FLAIR MRI.
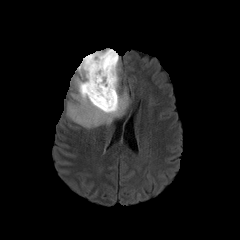
T1-weighted MR.
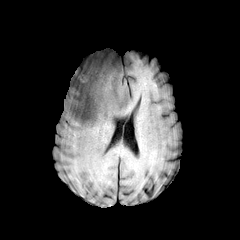
Post-contrast T1-weighted MRI.
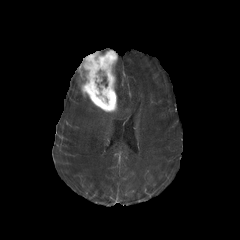
T2-weighted MRI.
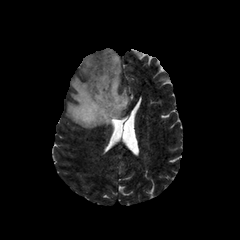
240x240 px | Axial plane
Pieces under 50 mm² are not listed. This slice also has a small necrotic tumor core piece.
The largest peritumoral edema region is at 66,55,129,129. The enhancing tumor is at 78,50,117,111.